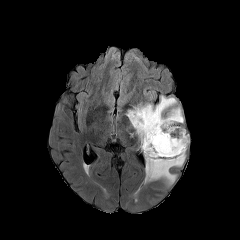
FLAIR MR image.
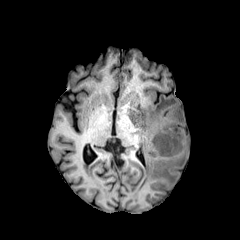
T1-weighted MRI.
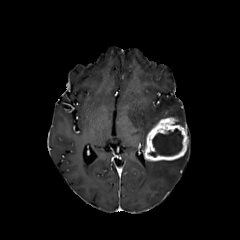
Post-contrast T1-weighted MRI of the same slice.
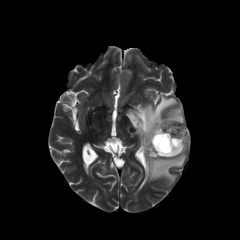
T2-weighted MRI.
Brain
peritumoral_edema:
  - 144 153 185 185
  - 127 96 183 149
necrotic_tumor_core:
  - 149 129 182 156
enhancing_tumor:
  - 143 117 188 161